FLAIR MR image.
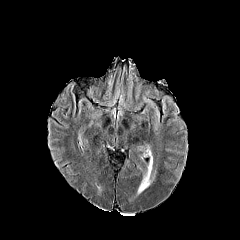
T1-weighted magnetic resonance.
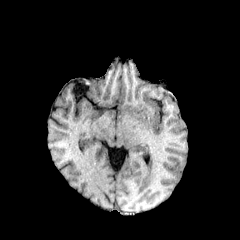
Post-contrast T1-weighted MRI.
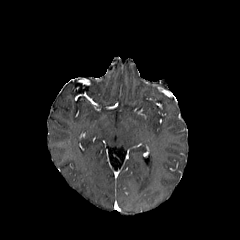
T2-weighted MR.
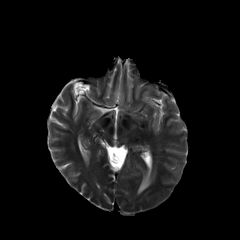
Head
peritumoral edema at box=[138, 157, 153, 193]